Slice 62 of 155; Image covers 240 mm x 240 mm
FLAIR magnetic resonance.
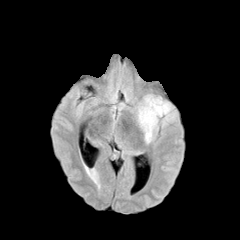
T1-weighted MRI.
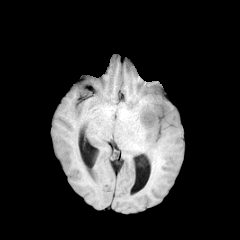
Post-contrast T1-weighted MRI.
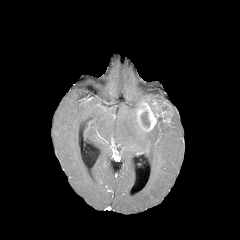
T2-weighted MRI.
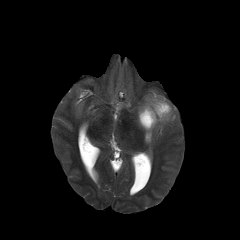
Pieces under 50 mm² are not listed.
The enhancing tumor appears at x1=137, y1=100, x2=171, y2=131. The 2 largest peritumoral edema regions appear at x1=143, y1=118, x2=161, y2=143; x1=137, y1=96, x2=163, y2=112. The necrotic tumor core lies within x1=141, y1=112, x2=149, y2=125.